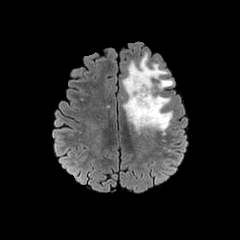
FLAIR MR.
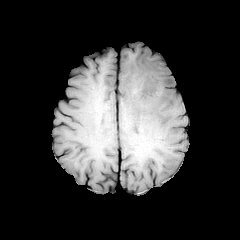
T1-weighted MR of the same slice.
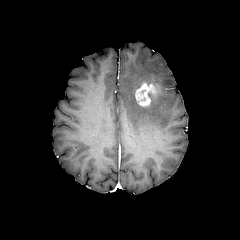
Post-contrast T1-weighted MR image.
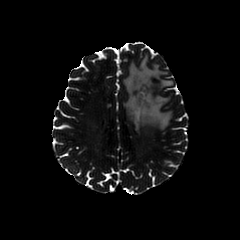
Same slice, T2-weighted MR.
Axial slice, Brain
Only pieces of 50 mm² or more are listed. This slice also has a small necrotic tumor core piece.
Segmented structures:
- enhancing tumor: 135:81:158:106
- peritumoral edema: 122:54:173:131